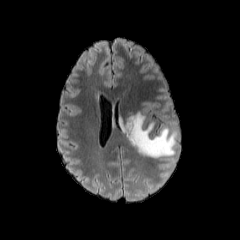
FLAIR MR.
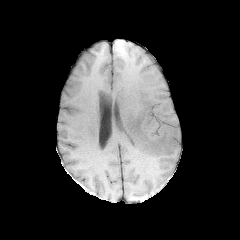
T1-weighted MRI of the same slice.
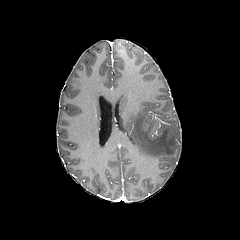
Post-contrast T1-weighted MRI.
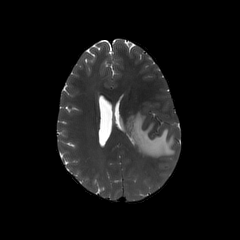
T2-weighted MR of the same slice.
Axial slice. Head.
The peritumoral edema appears at (left=123, top=112, right=178, bottom=158).